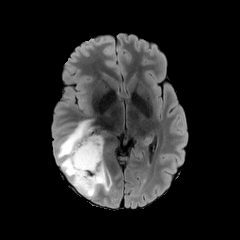
FLAIR magnetic resonance.
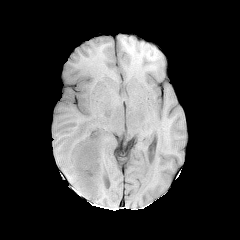
T1-weighted MR.
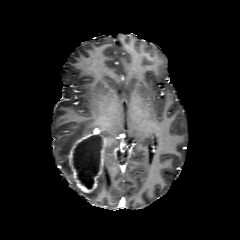
Post-contrast T1-weighted MR.
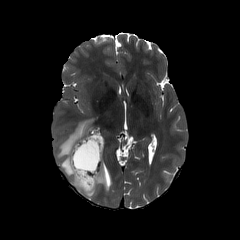
T2-weighted MR.
240x240
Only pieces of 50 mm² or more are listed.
<segmentation>
  <necrotic_tumor_core>73 136 104 188</necrotic_tumor_core>
  <enhancing_tumor>68 134 104 193</enhancing_tumor>
  <peritumoral_edema>56 120 111 198</peritumoral_edema>
</segmentation>